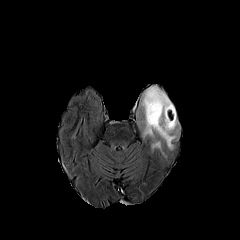
FLAIR MR.
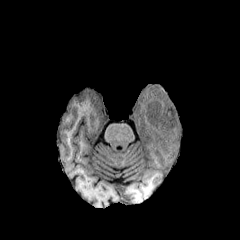
T1-weighted MR image.
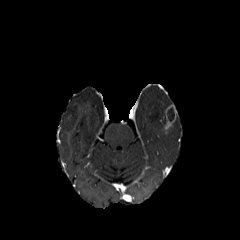
Same slice, post-contrast T1-weighted magnetic resonance.
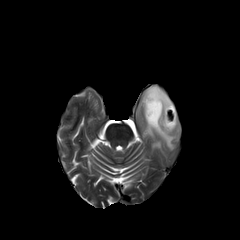
T2-weighted MR.
Head
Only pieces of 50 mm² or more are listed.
peritumoral_edema:
  - box(140, 86, 179, 149)
  - box(151, 141, 161, 149)
necrotic_tumor_core:
  - box(167, 107, 174, 120)
enhancing_tumor:
  - box(163, 104, 176, 133)